Axial view.
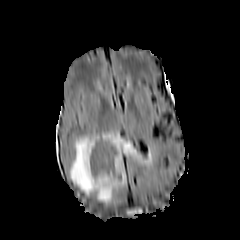
FLAIR magnetic resonance.
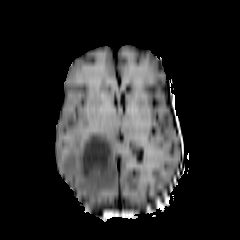
Same slice, T1-weighted MR.
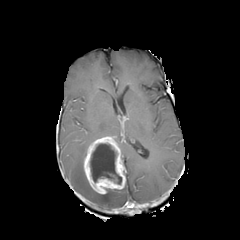
Same slice, post-contrast T1-weighted MR.
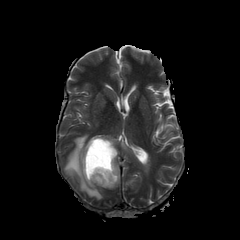
T2-weighted MRI.
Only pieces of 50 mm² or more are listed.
enhancing tumor: box(83, 136, 125, 193) | necrotic tumor core: box(90, 143, 121, 184) | peritumoral edema: box(69, 132, 137, 202)